Brain | Slice index 83
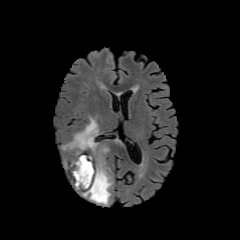
FLAIR MRI.
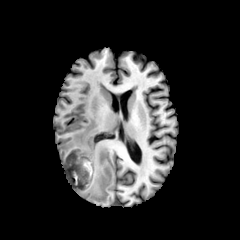
T1-weighted MR.
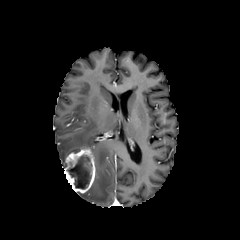
Same slice, post-contrast T1-weighted MR.
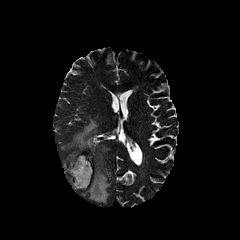
Same slice, T2-weighted magnetic resonance.
enhancing_tumor:
  - box=[63, 146, 95, 193]
necrotic_tumor_core:
  - box=[67, 155, 91, 189]
peritumoral_edema:
  - box=[61, 117, 112, 204]